Axial view
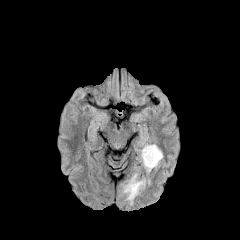
FLAIR MR.
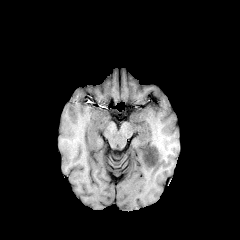
T1-weighted MRI.
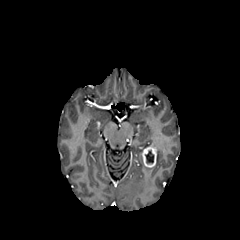
Same slice, post-contrast T1-weighted MR.
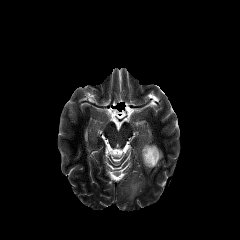
T2-weighted magnetic resonance.
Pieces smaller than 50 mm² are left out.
{
  "necrotic_tumor_core": [
    "l=145, t=150, r=153, b=163"
  ],
  "enhancing_tumor": [
    "l=142, t=146, r=156, b=167"
  ],
  "peritumoral_edema": [
    "l=123, t=174, r=145, b=202",
    "l=146, t=144, r=163, b=167"
  ]
}